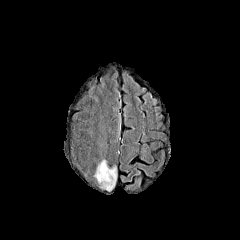
FLAIR magnetic resonance.
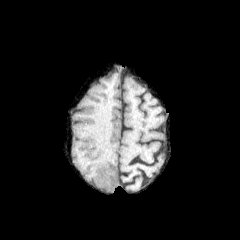
Same slice, T1-weighted MR image.
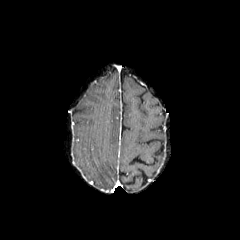
Post-contrast T1-weighted MR.
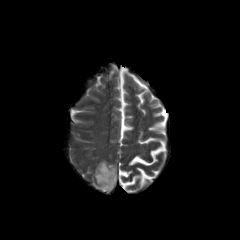
Same slice, T2-weighted MRI.
Brain
peritumoral_edema:
  - [95,159,117,191]